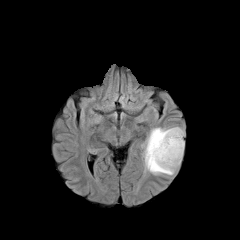
FLAIR MR.
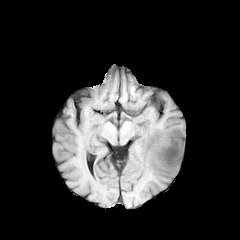
T1-weighted MRI.
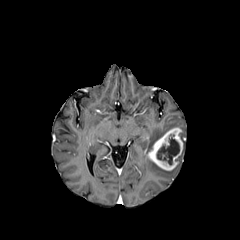
Post-contrast T1-weighted MR of the same slice.
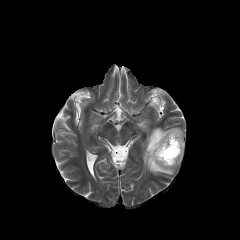
T2-weighted MRI.
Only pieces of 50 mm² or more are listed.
necrotic tumor core = [x1=157, y1=135, x2=179, y2=164]
enhancing tumor = [x1=146, y1=127, x2=183, y2=170]
peritumoral edema = [x1=143, y1=127, x2=182, y2=175]